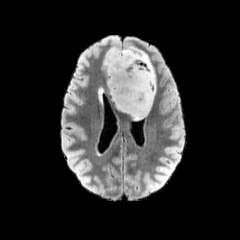
FLAIR MRI.
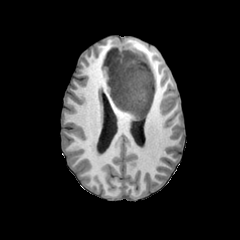
T1-weighted MRI.
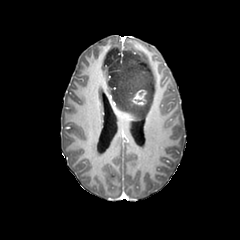
Post-contrast T1-weighted MR image.
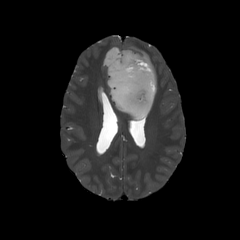
Same slice, T2-weighted magnetic resonance.
Axial slice.
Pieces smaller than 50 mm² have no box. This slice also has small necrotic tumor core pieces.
enhancing tumor: box=[132, 90, 146, 105]
peritumoral edema: box=[104, 46, 155, 119]